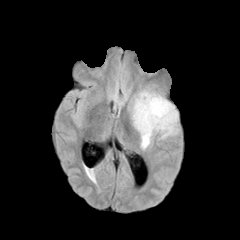
FLAIR MR image.
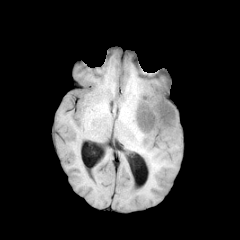
Same slice, T1-weighted magnetic resonance.
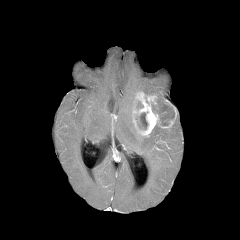
Post-contrast T1-weighted MR image.
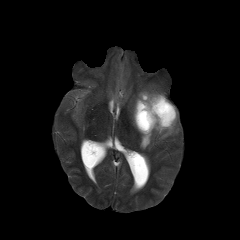
Same slice, T2-weighted MRI.
Axial view
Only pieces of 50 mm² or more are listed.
peritumoral_edema:
  - <bbox>140, 90, 162, 96</bbox>
  - <bbox>140, 115, 178, 149</bbox>
  - <bbox>132, 95, 137, 121</bbox>
enhancing_tumor:
  - <bbox>133, 92, 177, 136</bbox>
necrotic_tumor_core:
  - <bbox>139, 113, 147, 129</bbox>
  - <bbox>152, 105, 174, 125</bbox>